Axial slice.
FLAIR MR image.
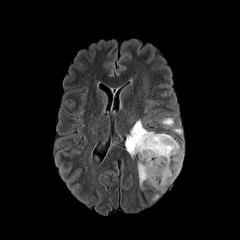
T1-weighted MRI.
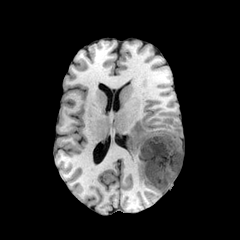
Post-contrast T1-weighted MRI.
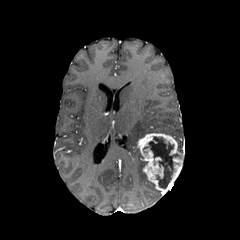
T2-weighted MRI.
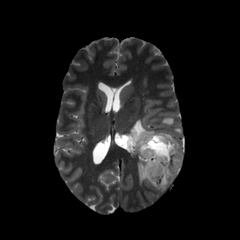
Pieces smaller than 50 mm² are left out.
The 2 largest peritumoral edema regions are bounded by rect(126, 120, 155, 187); rect(161, 117, 173, 126). The necrotic tumor core lies within rect(144, 137, 178, 188). The largest enhancing tumor region is at rect(137, 133, 184, 193).